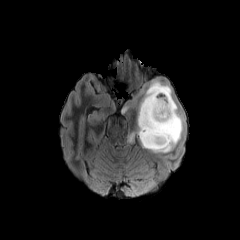
FLAIR MR.
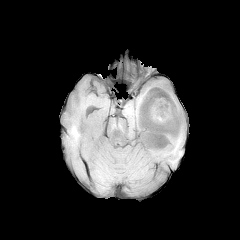
T1-weighted MR.
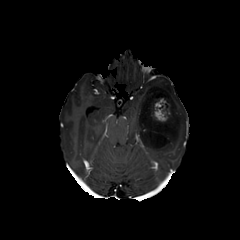
Post-contrast T1-weighted MR.
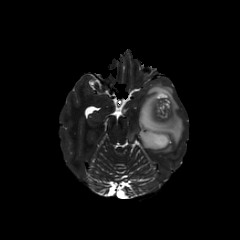
Same slice, T2-weighted MR.
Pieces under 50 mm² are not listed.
peritumoral edema: 137 83 184 152 | enhancing tumor: 149 96 171 122